Image covers 240 mm x 240 mm | Axial slice
FLAIR MR.
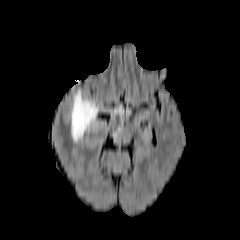
T1-weighted MRI.
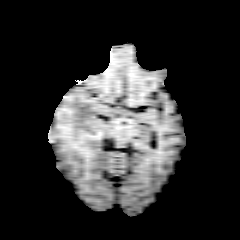
Post-contrast T1-weighted MR image.
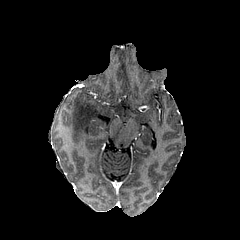
T2-weighted MRI.
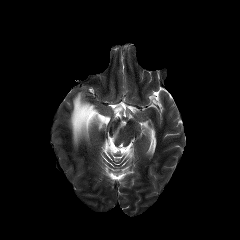
<segmentation>
  <peritumoral_edema>box(70, 91, 98, 142); box(113, 122, 125, 139); box(114, 105, 122, 112)</peritumoral_edema>
</segmentation>